Image size 240x240
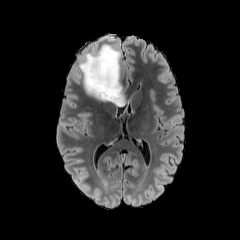
FLAIR magnetic resonance.
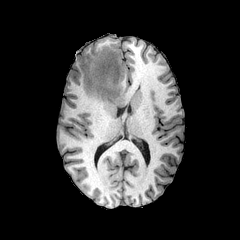
T1-weighted magnetic resonance.
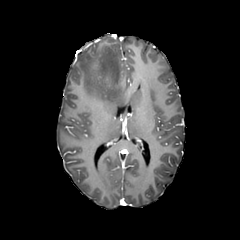
Post-contrast T1-weighted MR image.
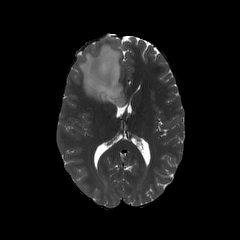
T2-weighted MRI.
peritumoral_edema:
  - [79, 44, 125, 106]